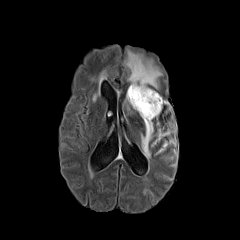
FLAIR MRI.
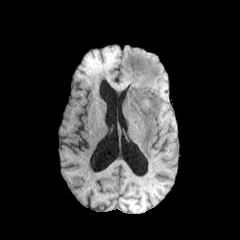
T1-weighted MRI.
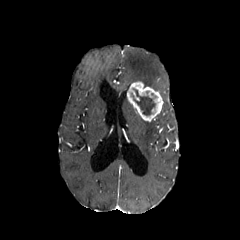
Post-contrast T1-weighted MR image.
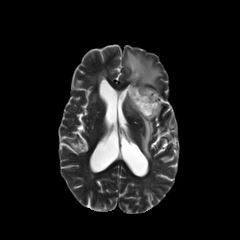
T2-weighted MR.
Axial slice. Brain.
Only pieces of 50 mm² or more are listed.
<segmentation>
  <enhancing_tumor>127:81:163:121</enhancing_tumor>
  <necrotic_tumor_core>132:90:156:115</necrotic_tumor_core>
  <peritumoral_edema>152:132:169:145, 141:121:153:160, 124:50:162:89</peritumoral_edema>
</segmentation>